Axial slice, Head, Image width 240 mm, 1.00 mm slice spacing
FLAIR MR.
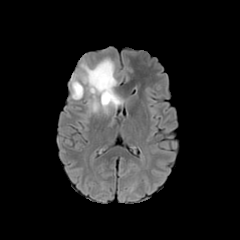
T1-weighted magnetic resonance.
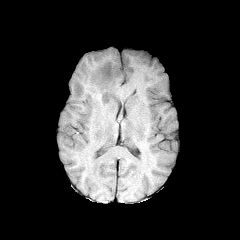
Post-contrast T1-weighted magnetic resonance.
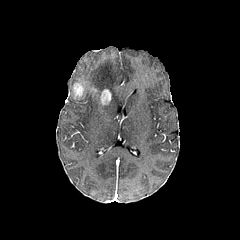
T2-weighted MRI.
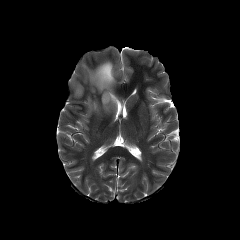
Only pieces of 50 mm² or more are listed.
2 enhancing tumor regions are bounded by region(73, 83, 83, 98); region(101, 89, 110, 104). The 2 largest peritumoral edema regions are bounded by region(81, 59, 116, 94); region(91, 96, 117, 111).